FLAIR MR.
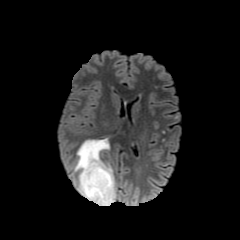
T1-weighted magnetic resonance.
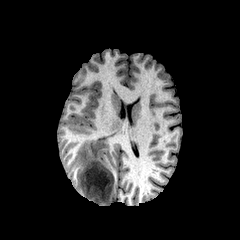
Post-contrast T1-weighted MR.
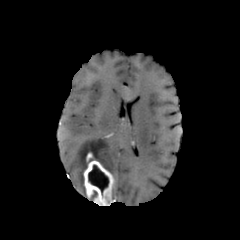
T2-weighted MR.
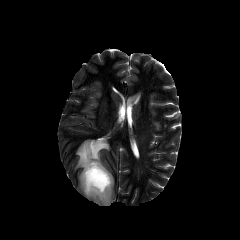
240x240 px | Axial plane
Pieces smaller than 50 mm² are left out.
<segmentation>
  <peritumoral_edema>(left=74, top=138, right=112, bottom=197), (left=112, top=182, right=115, bottom=199)</peritumoral_edema>
  <enhancing_tumor>(left=83, top=152, right=114, bottom=205)</enhancing_tumor>
  <necrotic_tumor_core>(left=88, top=163, right=109, bottom=194)</necrotic_tumor_core>
</segmentation>